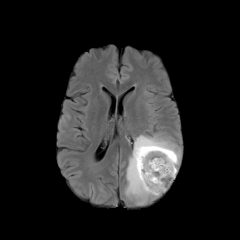
FLAIR MR.
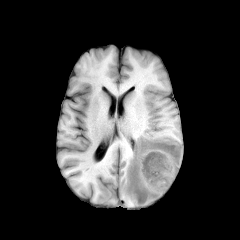
T1-weighted MR image of the same slice.
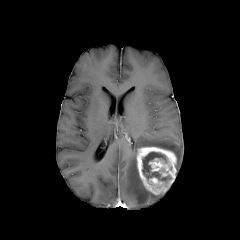
Post-contrast T1-weighted MR of the same slice.
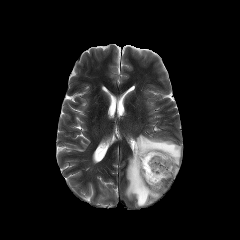
T2-weighted magnetic resonance.
Axial view | Head
The necrotic tumor core lies within bbox(142, 152, 170, 181). The peritumoral edema lies within bbox(125, 135, 181, 207). The enhancing tumor appears at bbox(136, 146, 176, 195).